Image size 240x240 | Axial plane
FLAIR magnetic resonance.
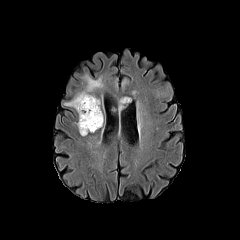
T1-weighted MR.
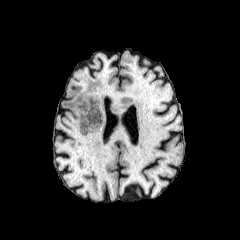
Post-contrast T1-weighted MR.
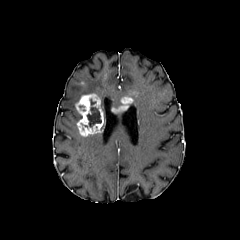
T2-weighted magnetic resonance.
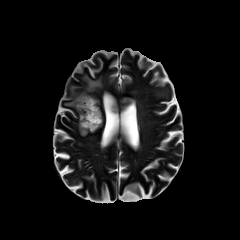
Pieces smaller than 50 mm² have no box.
The largest peritumoral edema region appears at x1=64 y1=74 x2=103 y2=107. 3 enhancing tumor regions are located at x1=112 y1=106 x2=127 y2=114, x1=75 y1=93 x2=103 y2=136, x1=121 y1=97 x2=133 y2=103. The largest necrotic tumor core region appears at x1=87 y1=107 x2=101 y2=127.